Image width 240 mm. Axial plane.
FLAIR MRI.
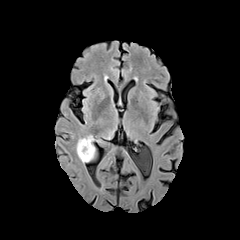
T1-weighted MR.
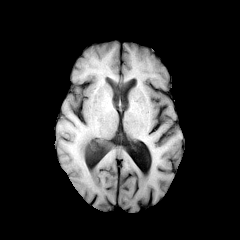
Post-contrast T1-weighted MR image.
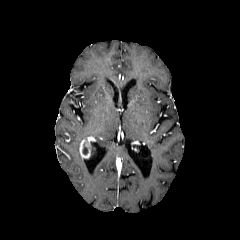
T2-weighted magnetic resonance.
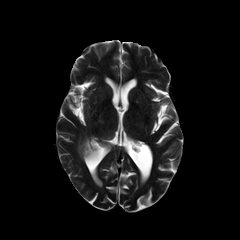
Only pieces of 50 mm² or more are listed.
enhancing tumor: bounding box <box>79,139,91,158</box>
peritumoral edema: bounding box <box>76,135,103,162</box>
necrotic tumor core: bounding box <box>82,142,87,154</box>